FLAIR MR.
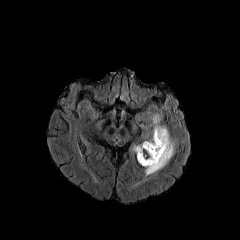
T1-weighted MRI.
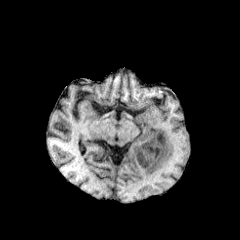
Post-contrast T1-weighted MRI.
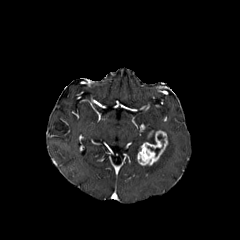
T2-weighted MR.
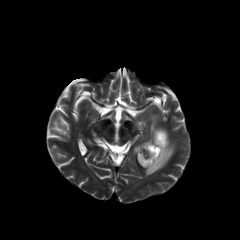
Image size 240x240. Brain.
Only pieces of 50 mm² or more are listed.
Findings:
- necrotic tumor core: x1=157 y1=134 x2=164 y2=147, x1=147 y1=146 x2=161 y2=156
- enhancing tumor: x1=137 y1=130 x2=167 y2=165
- peritumoral edema: x1=145 y1=114 x2=175 y2=175